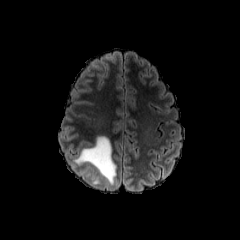
FLAIR magnetic resonance.
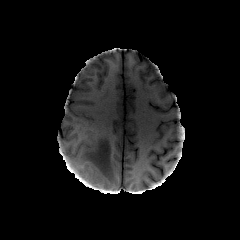
T1-weighted MR image of the same slice.
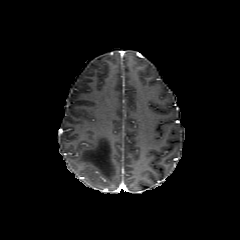
Same slice, post-contrast T1-weighted magnetic resonance.
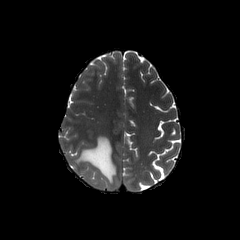
T2-weighted MRI of the same slice.
Axial slice
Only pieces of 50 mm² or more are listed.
Annotated regions:
- peritumoral edema: 74,136,115,184